Head, Axial plane, Image covers 240 mm x 240 mm, 240x240
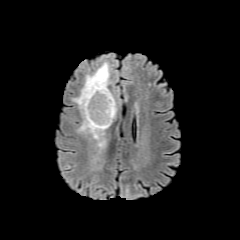
FLAIR magnetic resonance.
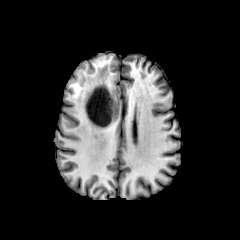
T1-weighted magnetic resonance.
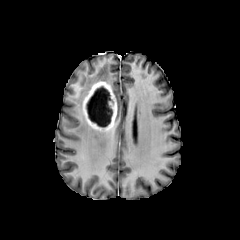
Same slice, post-contrast T1-weighted MRI.
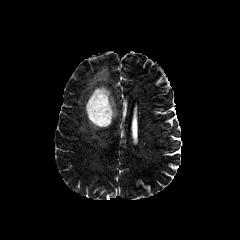
Same slice, T2-weighted MR image.
The necrotic tumor core appears at (86,86,112,127). The enhancing tumor lies within (83,81,117,130). The peritumoral edema is located at (73,63,110,147).